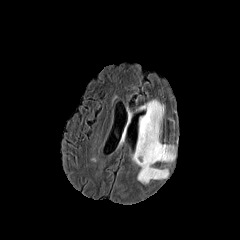
FLAIR magnetic resonance.
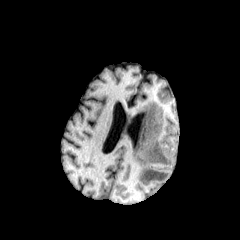
T1-weighted magnetic resonance of the same slice.
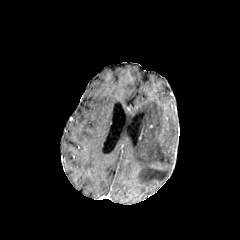
Post-contrast T1-weighted MRI of the same slice.
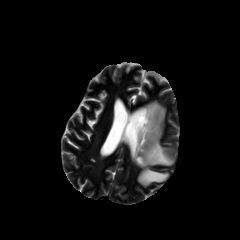
T2-weighted MR.
Axial slice | 240x240 px | Head
peritumoral edema — <box>132,99,174,184</box>